FLAIR MR image.
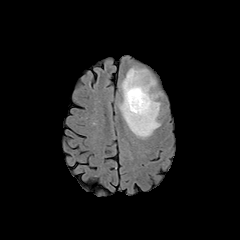
T1-weighted magnetic resonance.
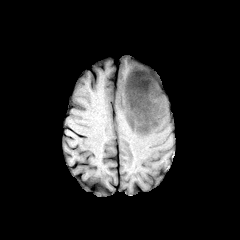
Post-contrast T1-weighted magnetic resonance.
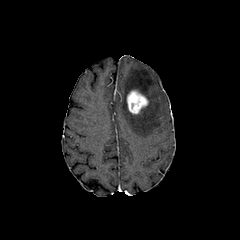
T2-weighted MR.
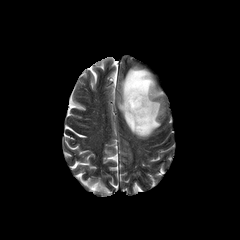
240x240 px; Axial view
peritumoral edema = x1=119, y1=68, x2=162, y2=138
enhancing tumor = x1=127, y1=89, x2=148, y2=114